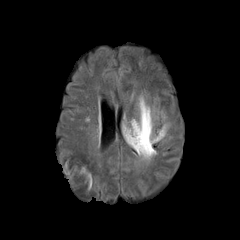
FLAIR magnetic resonance.
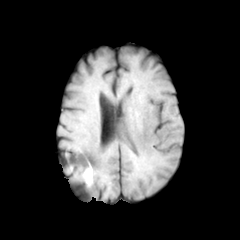
T1-weighted magnetic resonance of the same slice.
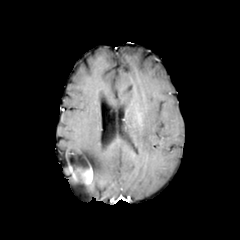
Post-contrast T1-weighted MR of the same slice.
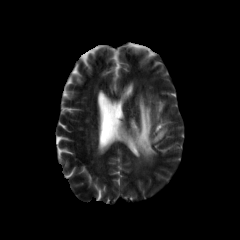
Same slice, T2-weighted MR.
Image size 240x240; Axial view
peritumoral edema: 122:95:168:161